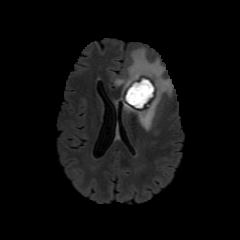
FLAIR magnetic resonance.
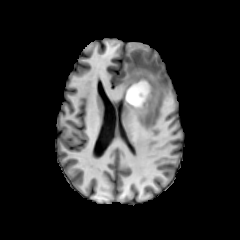
Same slice, T1-weighted MRI.
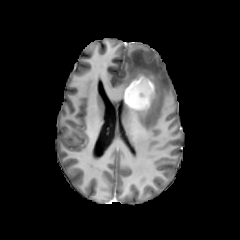
Post-contrast T1-weighted MRI.
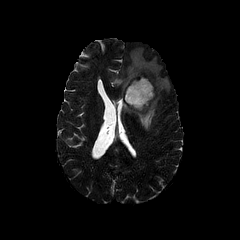
T2-weighted MR image of the same slice.
Axial plane
<segmentation>
  <enhancing_tumor>box(124, 74, 155, 110)</enhancing_tumor>
  <necrotic_tumor_core>box(127, 82, 149, 107)</necrotic_tumor_core>
  <peritumoral_edema>box(114, 48, 171, 130)</peritumoral_edema>
</segmentation>